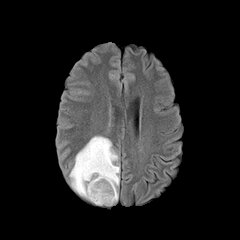
FLAIR magnetic resonance.
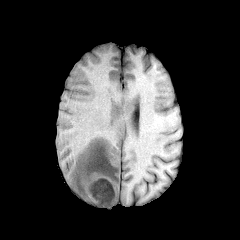
T1-weighted MRI of the same slice.
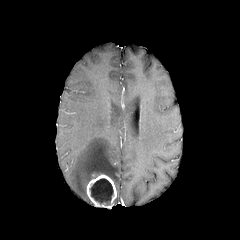
Post-contrast T1-weighted MR.
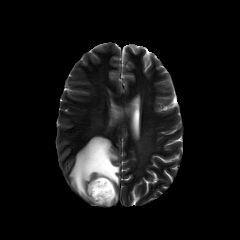
T2-weighted MRI of the same slice.
240x240
enhancing tumor at rect(86, 174, 116, 207)
peritumoral edema at rect(69, 136, 119, 202)
necrotic tumor core at rect(90, 178, 113, 205)